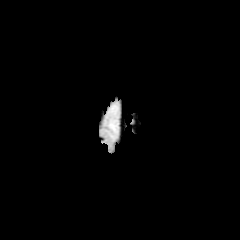
FLAIR MR.
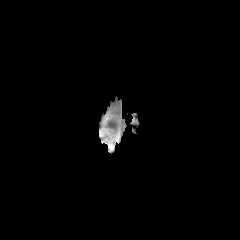
T1-weighted MR image.
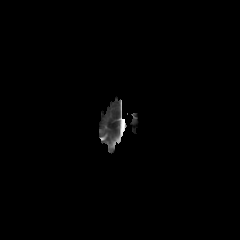
Same slice, post-contrast T1-weighted MR image.
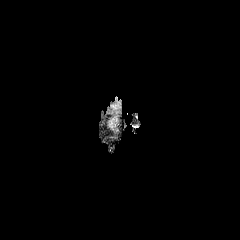
T2-weighted MRI.
240x240 px. Brain.
peritumoral edema — box(107, 104, 118, 138)